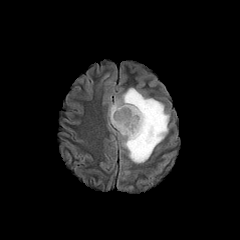
FLAIR MR image.
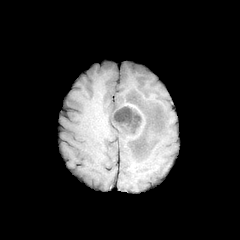
T1-weighted MRI.
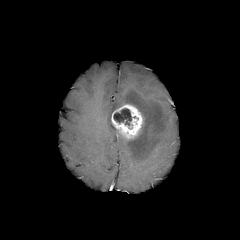
Same slice, post-contrast T1-weighted MRI.
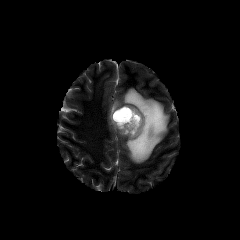
T2-weighted MR image.
240x240 px | Brain
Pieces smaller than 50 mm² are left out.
necrotic tumor core at (x1=113, y1=108, x2=131, y2=125)
enhancing tumor at (x1=111, y1=104, x2=143, y2=139)
peritumoral edema at (x1=108, y1=87, x2=169, y2=163)